FLAIR MR image.
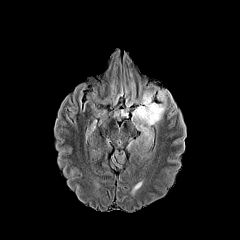
T1-weighted MRI.
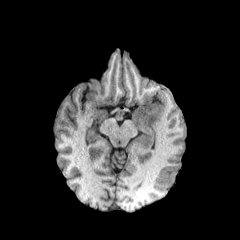
Post-contrast T1-weighted MR image.
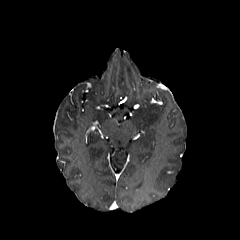
T2-weighted MR.
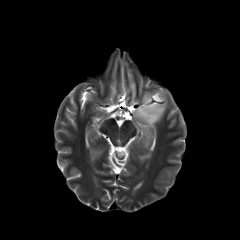
Brain; Axial view; Image size 240x240
peritumoral edema = (133, 91, 166, 145)